240x240 px; Head; Slice 70 of 155
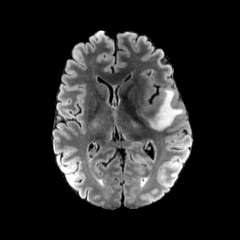
FLAIR MR image.
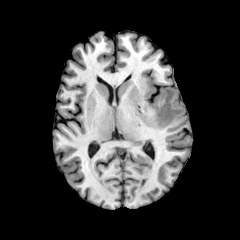
T1-weighted magnetic resonance of the same slice.
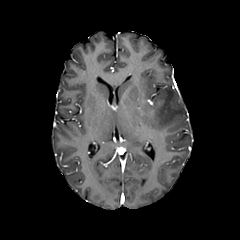
Post-contrast T1-weighted MRI.
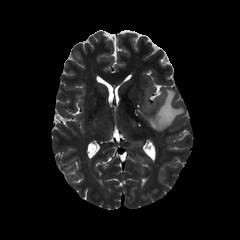
T2-weighted magnetic resonance.
{"peritumoral_edema": ["x1=149, y1=88, x2=183, y2=130"]}